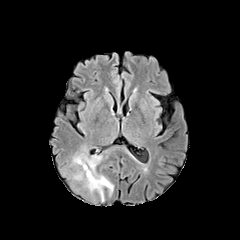
FLAIR MRI.
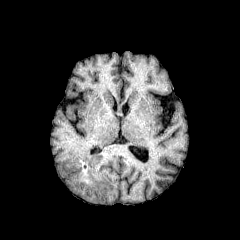
Same slice, T1-weighted magnetic resonance.
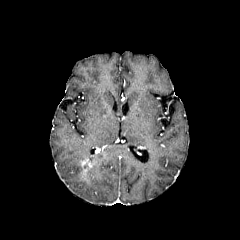
Post-contrast T1-weighted MR.
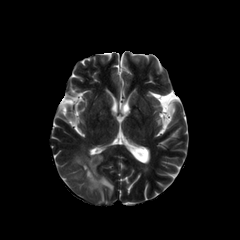
T2-weighted MR of the same slice.
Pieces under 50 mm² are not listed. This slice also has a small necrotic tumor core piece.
The largest enhancing tumor region is at rect(80, 158, 96, 167). The 3 largest peritumoral edema regions are located at rect(86, 156, 113, 199); rect(75, 171, 83, 180); rect(73, 153, 86, 164).